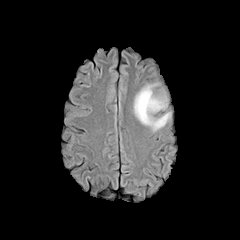
FLAIR magnetic resonance.
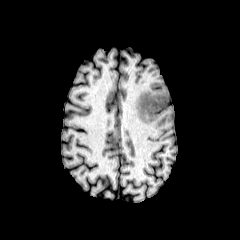
T1-weighted MR image.
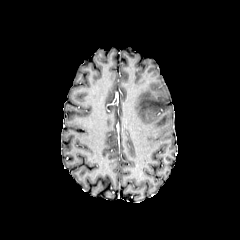
Post-contrast T1-weighted MR image of the same slice.
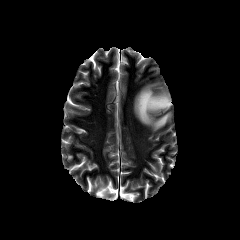
Same slice, T2-weighted MRI.
Axial plane, Head
peritumoral edema: <bbox>134, 84, 171, 130</bbox>